Head
FLAIR MR.
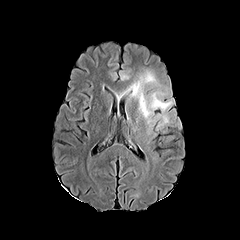
T1-weighted magnetic resonance.
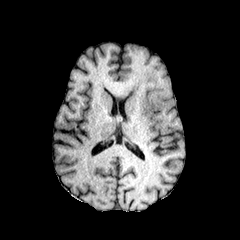
Post-contrast T1-weighted MR.
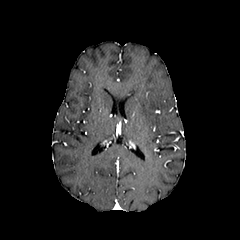
T2-weighted MR image.
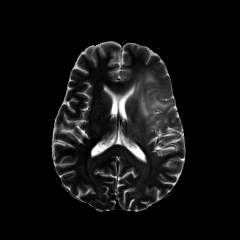
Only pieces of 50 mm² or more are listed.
The 2 largest peritumoral edema regions are located at 158, 115, 168, 126; 117, 71, 172, 123.